FLAIR magnetic resonance.
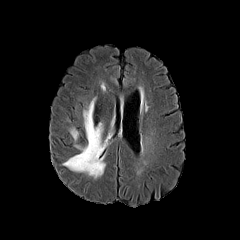
T1-weighted MRI.
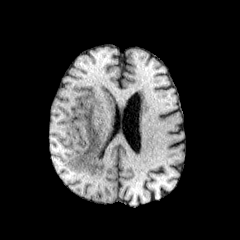
Post-contrast T1-weighted MR.
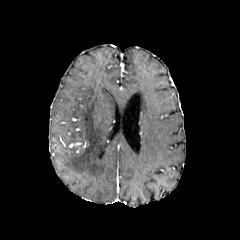
T2-weighted MRI.
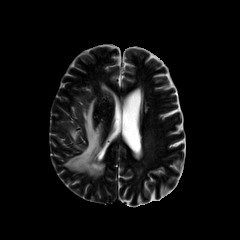
Axial slice; Head
peritumoral_edema:
  - 70 129 77 140
  - 63 98 106 178